Brain | 240x240 | Slice 57/155
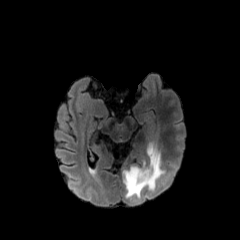
FLAIR magnetic resonance.
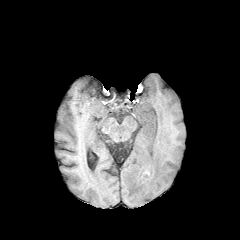
Same slice, T1-weighted MRI.
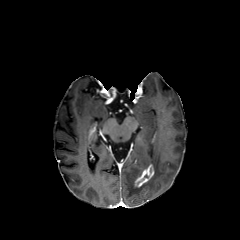
Same slice, post-contrast T1-weighted MRI.
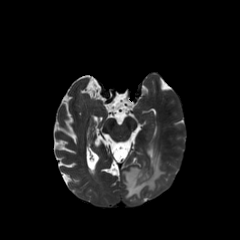
T2-weighted magnetic resonance of the same slice.
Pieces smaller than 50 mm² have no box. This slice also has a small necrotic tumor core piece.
<segmentation>
  <enhancing_tumor>x1=134 y1=164 x2=154 y2=187</enhancing_tumor>
  <peritumoral_edema>x1=123 y1=146 x2=164 y2=198</peritumoral_edema>
</segmentation>